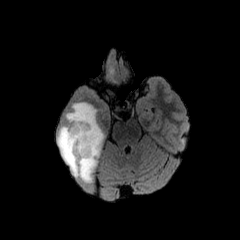
FLAIR MRI.
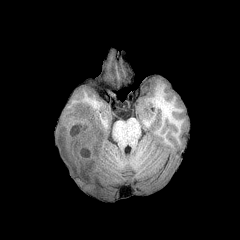
T1-weighted magnetic resonance.
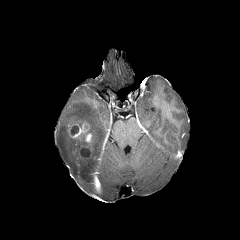
Post-contrast T1-weighted MR image of the same slice.
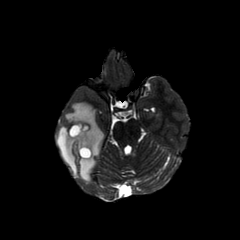
T2-weighted magnetic resonance of the same slice.
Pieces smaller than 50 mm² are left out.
enhancing_tumor:
  - left=68, top=122, right=94, bottom=143
  - left=79, top=146, right=91, bottom=158
necrotic_tumor_core:
  - left=70, top=125, right=78, bottom=135
  - left=80, top=148, right=89, bottom=156
peritumoral_edema:
  - left=57, top=102, right=103, bottom=181